240x240
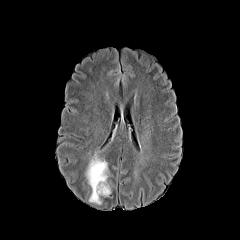
FLAIR MRI.
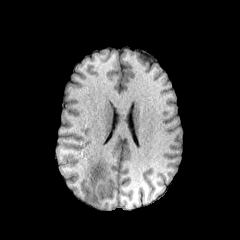
T1-weighted MRI of the same slice.
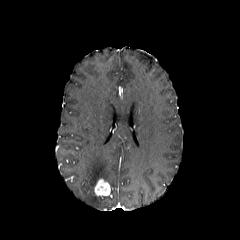
Same slice, post-contrast T1-weighted MRI.
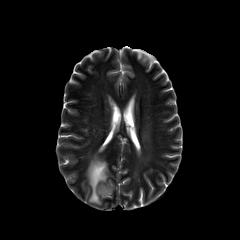
T2-weighted MRI of the same slice.
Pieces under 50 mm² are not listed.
peritumoral edema = [x1=85, y1=152, x2=108, y2=204]
necrotic tumor core = [x1=96, y1=182, x2=108, y2=193]
enhancing tumor = [x1=94, y1=182, x2=110, y2=196]